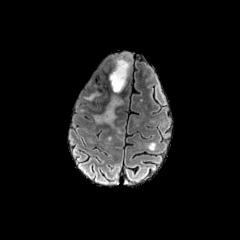
FLAIR magnetic resonance.
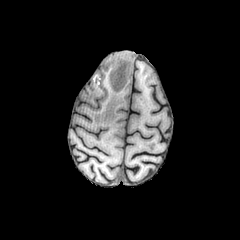
T1-weighted MR.
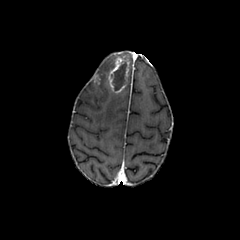
Same slice, post-contrast T1-weighted MR image.
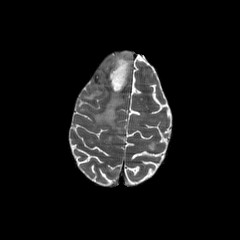
T2-weighted MR image of the same slice.
Image size 240x240.
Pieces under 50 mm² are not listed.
The enhancing tumor is at x1=108, y1=54, x2=130, y2=93. The largest necrotic tumor core region lies within x1=113, y1=62, x2=126, y2=90. The 2 largest peritumoral edema regions appear at x1=93, y1=95, x2=122, y2=127; x1=84, y1=93, x2=97, y2=100.